FLAIR MR image.
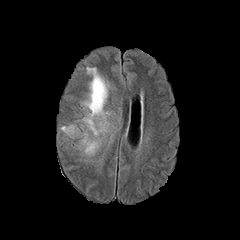
T1-weighted MR image.
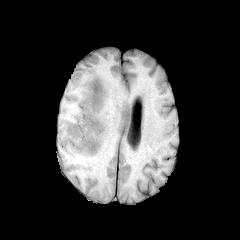
Post-contrast T1-weighted magnetic resonance.
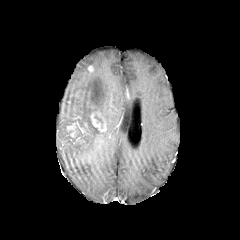
T2-weighted magnetic resonance.
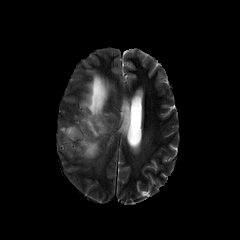
Axial plane.
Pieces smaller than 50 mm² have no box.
The 2 largest enhancing tumor regions are located at 90:111:108:131, 67:125:75:136. The necrotic tumor core is located at 94:115:103:125. The 2 largest peritumoral edema regions are located at 60:126:74:138, 74:68:109:157.